FLAIR MR.
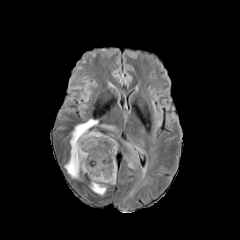
T1-weighted MR image.
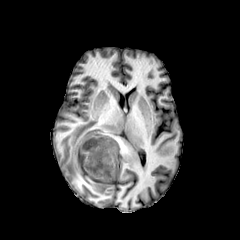
Post-contrast T1-weighted MR image.
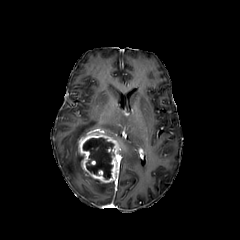
T2-weighted MRI.
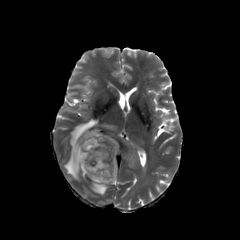
Image size 240x240
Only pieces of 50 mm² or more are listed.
The enhancing tumor is bounded by [78,132,120,183]. The 4 largest peritumoral edema regions are located at [125,143,138,168], [101,124,116,131], [90,178,107,195], [65,119,98,179]. The largest necrotic tumor core region lies within [83,138,113,178].